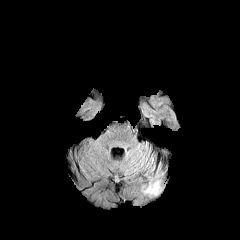
FLAIR MRI.
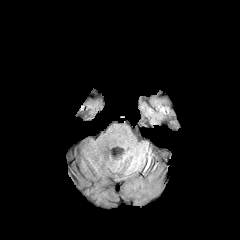
T1-weighted MRI of the same slice.
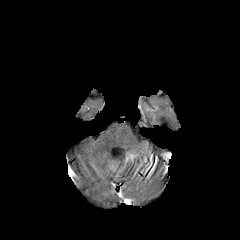
Post-contrast T1-weighted MRI.
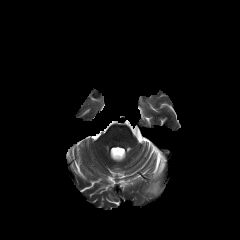
T2-weighted MRI.
Brain, 240x240 px
{"peritumoral_edema": ["144:166:160:194"]}